Slice 131/155.
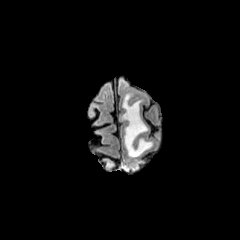
FLAIR MR.
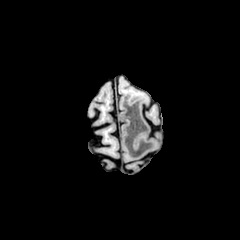
Same slice, T1-weighted MR.
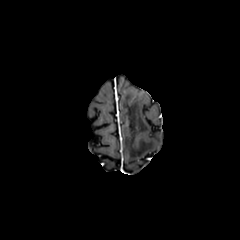
Post-contrast T1-weighted magnetic resonance.
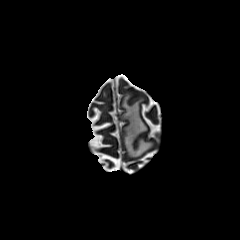
T2-weighted MRI of the same slice.
The peritumoral edema is bounded by bbox=[121, 93, 153, 157].